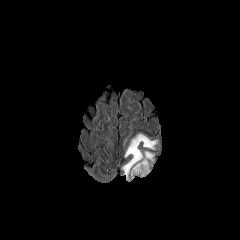
FLAIR MRI.
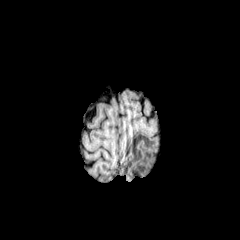
T1-weighted MR image.
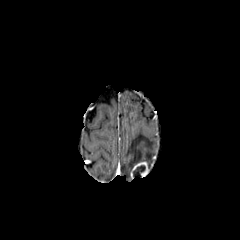
Post-contrast T1-weighted MR.
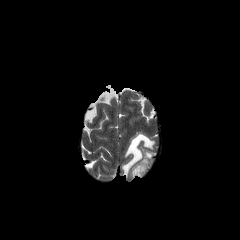
T2-weighted magnetic resonance.
Axial plane
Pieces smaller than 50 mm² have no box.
{"enhancing_tumor": ["left=131, top=161, right=149, bottom=177"], "peritumoral_edema": ["left=121, top=133, right=158, bottom=180", "left=143, top=150, right=155, bottom=169"], "necrotic_tumor_core": ["left=133, top=165, right=145, bottom=176"]}